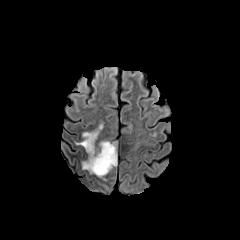
FLAIR MR image.
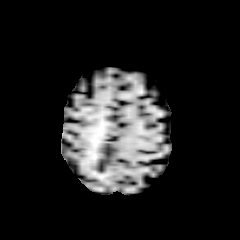
Same slice, T1-weighted MRI.
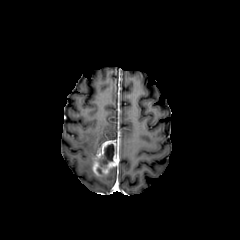
Post-contrast T1-weighted MR image.
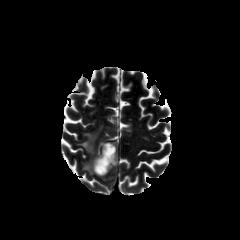
T2-weighted MRI.
Head | Axial slice
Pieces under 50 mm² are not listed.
necrotic tumor core: <bbox>99, 144, 114, 167</bbox>
enhancing tumor: <bbox>92, 141, 118, 177</bbox>
peritumoral edema: <bbox>77, 131, 98, 173</bbox>